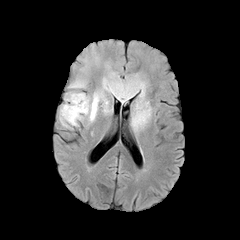
FLAIR MR image.
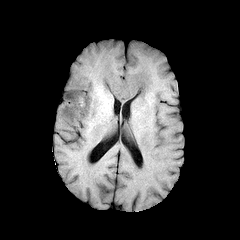
T1-weighted MR image.
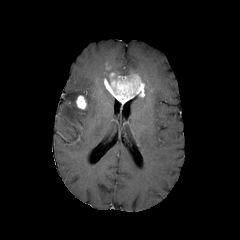
Same slice, post-contrast T1-weighted MR.
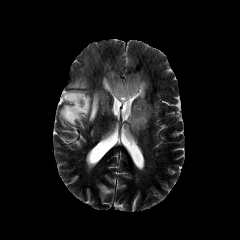
T2-weighted magnetic resonance.
Head
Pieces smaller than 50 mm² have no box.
{"enhancing_tumor": ["region(75, 95, 87, 109)", "region(103, 72, 145, 104)"], "peritumoral_edema": ["region(59, 63, 113, 128)", "region(131, 95, 152, 131)", "region(136, 73, 149, 93)"]}